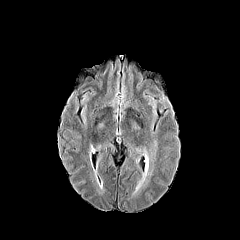
FLAIR MR.
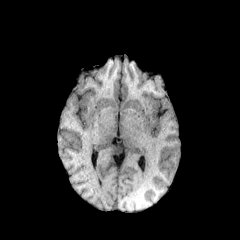
Same slice, T1-weighted MR image.
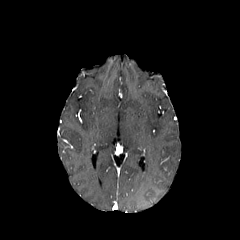
Same slice, post-contrast T1-weighted MRI.
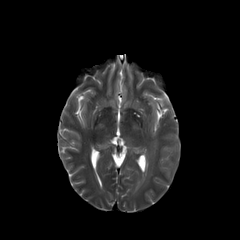
Same slice, T2-weighted MR image.
Axial view. 240x240 px.
<segmentation>
  <peritumoral_edema>131 168 152 197</peritumoral_edema>
</segmentation>